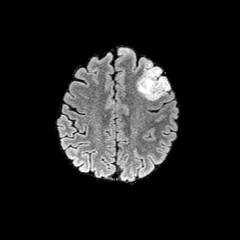
FLAIR MR.
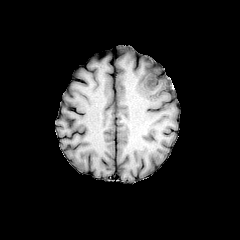
Same slice, T1-weighted magnetic resonance.
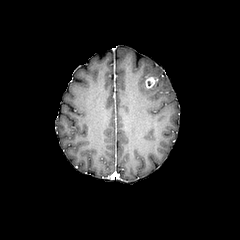
Post-contrast T1-weighted MR image.
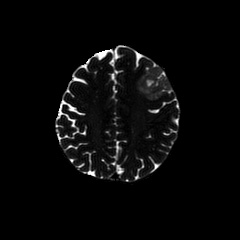
T2-weighted MRI of the same slice.
Brain. 240x240 px. Axial slice.
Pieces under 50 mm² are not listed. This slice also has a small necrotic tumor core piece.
The enhancing tumor is at (145, 76, 157, 88). The peritumoral edema lies within (137, 63, 169, 100).